Axial view | Brain | Image width 240 mm | 240x240 px
FLAIR MR.
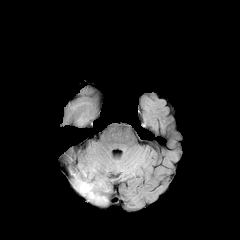
T1-weighted magnetic resonance.
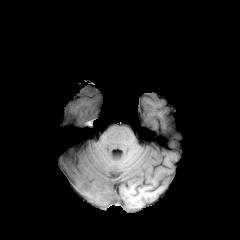
Post-contrast T1-weighted MR image.
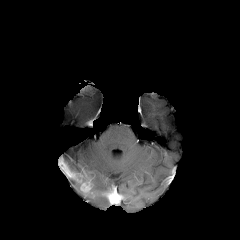
T2-weighted magnetic resonance.
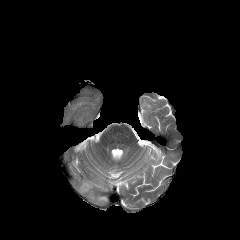
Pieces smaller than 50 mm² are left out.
enhancing tumor: x1=69, y1=171, x2=92, y2=193
peritumoral edema: x1=74, y1=180, x2=106, y2=203